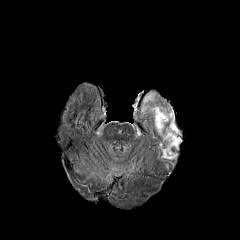
FLAIR MRI.
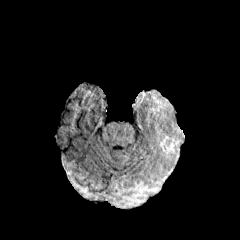
T1-weighted MRI of the same slice.
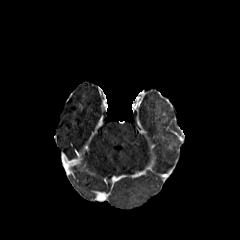
Post-contrast T1-weighted MR image of the same slice.
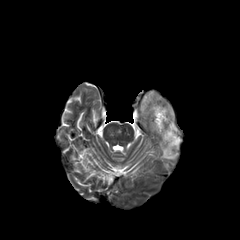
T2-weighted MRI.
Brain | Axial plane
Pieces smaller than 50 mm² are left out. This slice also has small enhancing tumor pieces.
The largest necrotic tumor core region is bounded by (left=165, top=132, right=174, bottom=145). The 2 largest peritumoral edema regions are located at (left=163, top=148, right=175, bottom=158), (left=155, top=107, right=166, bottom=133).